FLAIR MR.
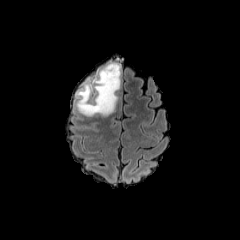
T1-weighted MRI.
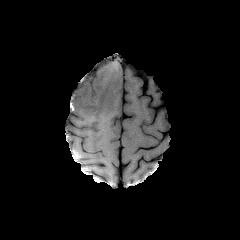
Post-contrast T1-weighted MR image.
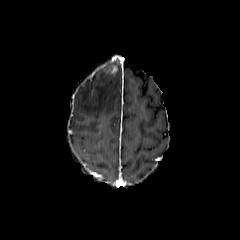
T2-weighted MR.
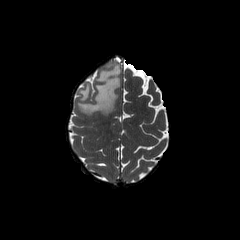
Brain | Axial plane
enhancing tumor: bounding box [x1=106, y1=65, x2=117, y2=74]
peritumoral edema: bounding box [x1=76, y1=62, x2=121, y2=116]